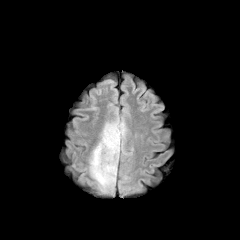
FLAIR MR image.
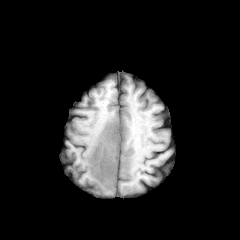
T1-weighted MRI of the same slice.
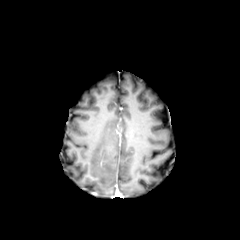
Same slice, post-contrast T1-weighted MR.
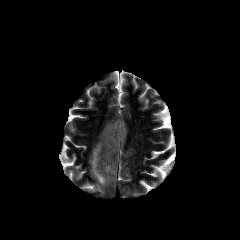
Same slice, T2-weighted MR.
Brain
peritumoral edema: 89, 119, 126, 192